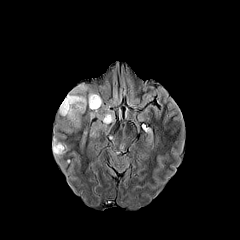
FLAIR magnetic resonance.
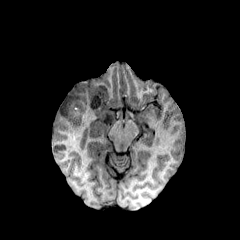
T1-weighted MR image.
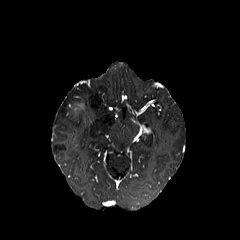
Post-contrast T1-weighted MR image of the same slice.
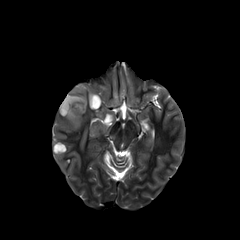
T2-weighted magnetic resonance.
Axial view
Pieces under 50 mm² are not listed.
necrotic_tumor_core:
  - x1=69 y1=98 x2=80 y2=110
peritumoral_edema:
  - x1=59 y1=85 x2=88 y2=121
  - x1=88 y1=92 x2=101 y2=112
  - x1=53 y1=139 x2=64 y2=154
  - x1=97 y1=113 x2=113 y2=123
enhancing_tumor:
  - x1=72 y1=102 x2=84 y2=115